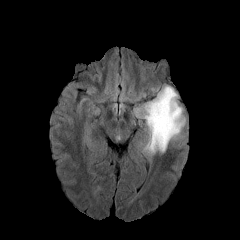
FLAIR magnetic resonance.
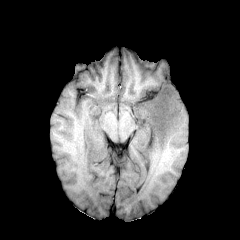
Same slice, T1-weighted magnetic resonance.
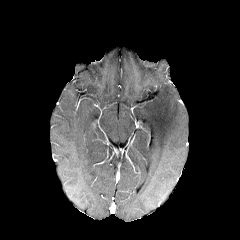
Post-contrast T1-weighted MR image of the same slice.
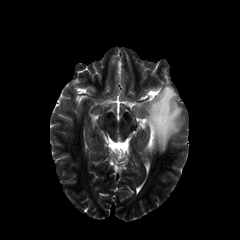
T2-weighted MR of the same slice.
Axial plane; Image size 240x240
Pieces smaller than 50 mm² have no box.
• peritumoral edema: 134:85:185:155